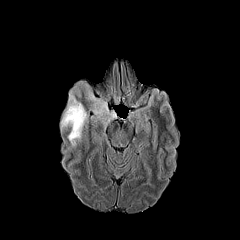
FLAIR magnetic resonance.
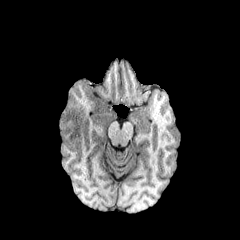
T1-weighted magnetic resonance.
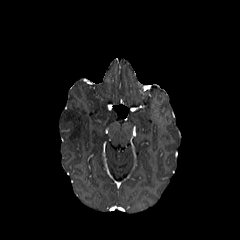
Post-contrast T1-weighted magnetic resonance of the same slice.
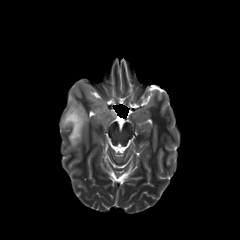
T2-weighted MRI of the same slice.
240x240. Brain.
peritumoral edema — (x1=88, y1=93, x2=112, y2=121), (x1=61, y1=90, x2=87, y2=146)